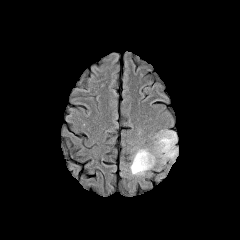
FLAIR MR image.
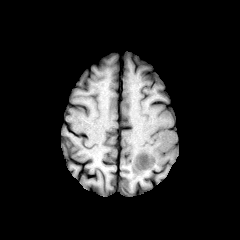
Same slice, T1-weighted MR image.
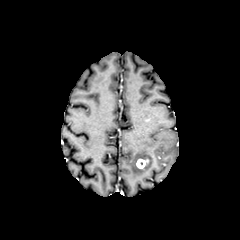
Same slice, post-contrast T1-weighted MRI.
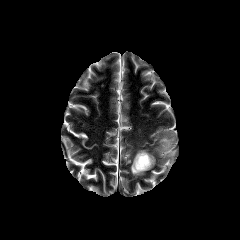
Same slice, T2-weighted MR.
Image size 240x240. Head. Axial plane.
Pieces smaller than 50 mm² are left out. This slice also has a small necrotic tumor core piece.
- enhancing tumor: (136, 158, 149, 168)
- peritumoral edema: (155, 130, 178, 162), (130, 149, 155, 175)